Image covers 240 mm x 240 mm | Slice index 47
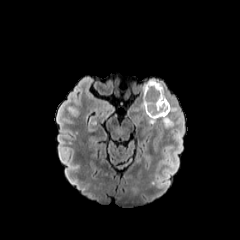
FLAIR MR image.
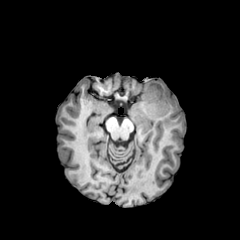
T1-weighted MR image.
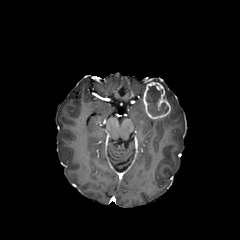
Post-contrast T1-weighted MR.
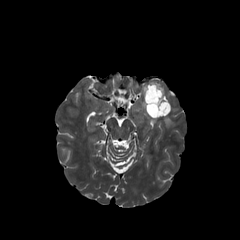
T2-weighted magnetic resonance.
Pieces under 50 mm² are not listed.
{
  "necrotic_tumor_core": [
    "<box>146,86,168,116</box>"
  ],
  "enhancing_tumor": [
    "<box>143,81,170,119</box>"
  ],
  "peritumoral_edema": [
    "<box>162,115,173,127</box>",
    "<box>142,79,163,93</box>"
  ]
}